240x240 px. Head. Image width 240 mm. Slice index 44.
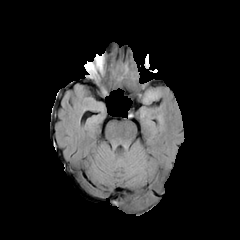
FLAIR magnetic resonance.
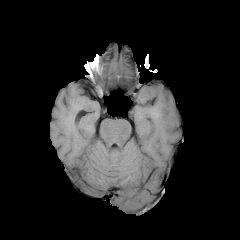
T1-weighted MR image.
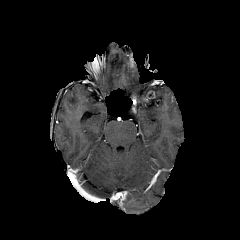
Post-contrast T1-weighted MR image of the same slice.
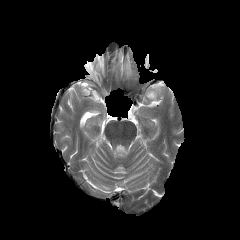
T2-weighted MR of the same slice.
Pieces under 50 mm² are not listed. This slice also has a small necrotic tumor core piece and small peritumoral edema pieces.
enhancing_tumor:
  - x1=143 y1=91 x2=155 y2=100